Image width 240 mm, 1.00 mm slice spacing | Axial slice | Slice 67 of 155
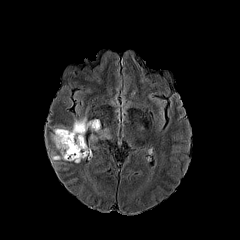
FLAIR MR.
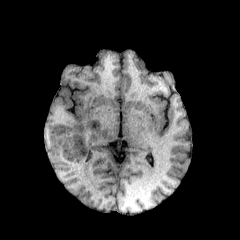
T1-weighted MRI of the same slice.
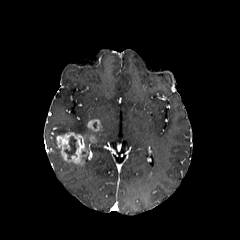
Post-contrast T1-weighted MR image.
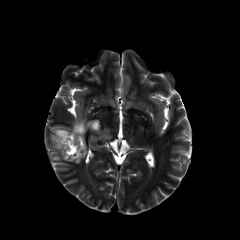
Same slice, T2-weighted MRI.
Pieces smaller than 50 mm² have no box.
necrotic tumor core = box=[64, 136, 76, 158]
peritumoral edema = box=[98, 128, 110, 139]; box=[71, 117, 87, 136]; box=[51, 153, 62, 160]
enhancing tumor = box=[56, 131, 86, 164]; box=[87, 119, 100, 142]